Axial view, Slice index 96
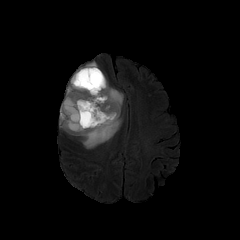
FLAIR MRI.
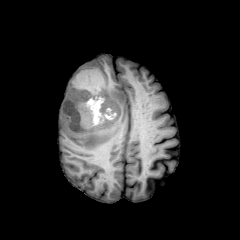
T1-weighted MRI.
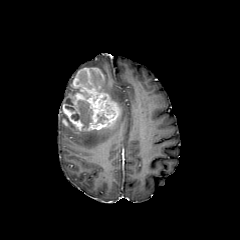
Post-contrast T1-weighted MR of the same slice.
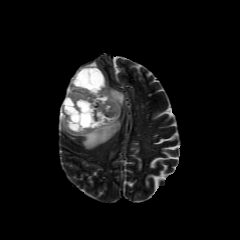
T2-weighted magnetic resonance.
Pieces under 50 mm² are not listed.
{"peritumoral_edema": ["(x1=59, y1=105, x2=121, y2=149)", "(x1=63, y1=61, x2=97, y2=103)", "(x1=100, y1=75, x2=124, y2=111)"], "enhancing_tumor": ["(x1=62, y1=67, x2=120, y2=132)"], "necrotic_tumor_core": ["(x1=61, y1=112, x2=77, y2=131)", "(x1=77, y1=73, x2=86, y2=84)", "(x1=90, y1=70, x2=104, y2=87)", "(x1=71, y1=101, x2=92, y2=128)"]}